FLAIR MR.
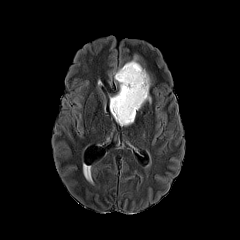
T1-weighted magnetic resonance.
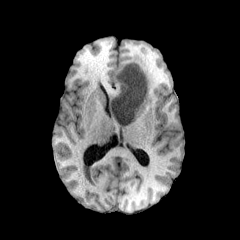
Post-contrast T1-weighted MRI.
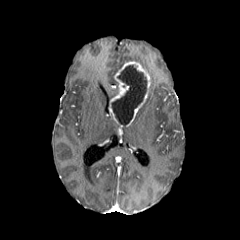
T2-weighted magnetic resonance.
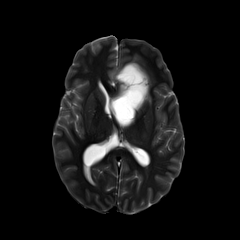
Image size 240x240; Head; Axial plane
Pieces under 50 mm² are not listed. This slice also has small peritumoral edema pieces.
{
  "necrotic_tumor_core": [
    "box(112, 65, 147, 125)"
  ],
  "enhancing_tumor": [
    "box(109, 61, 150, 126)"
  ]
}